FLAIR magnetic resonance.
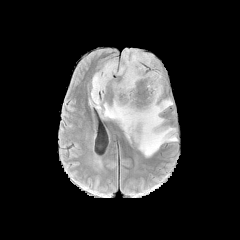
T1-weighted MR.
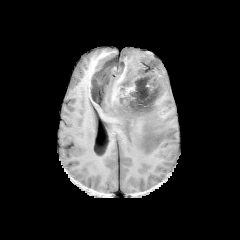
Post-contrast T1-weighted MR.
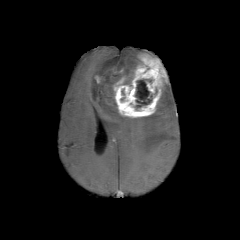
T2-weighted MR.
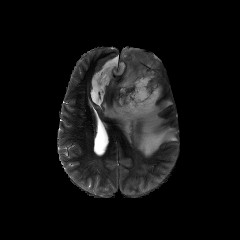
Head; Axial slice
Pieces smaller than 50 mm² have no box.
enhancing tumor at box(113, 54, 166, 117); box(95, 75, 103, 83)
necrotic tumor core at box(135, 79, 152, 108)
peritumoral edema at box(162, 74, 170, 93); box(90, 48, 177, 157)